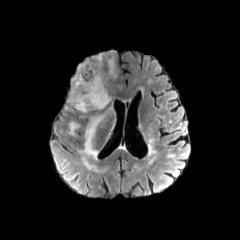
FLAIR MR.
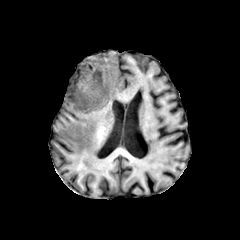
T1-weighted MR.
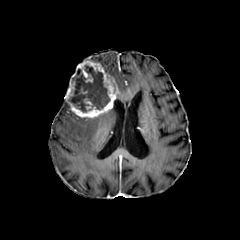
Post-contrast T1-weighted MR.
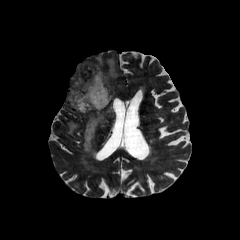
T2-weighted MR of the same slice.
Axial slice; Image size 240x240
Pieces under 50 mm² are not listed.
enhancing_tumor:
  - l=65, t=59, r=118, b=117
peritumoral_edema:
  - l=107, t=59, r=115, b=77
  - l=68, t=121, r=79, b=135
  - l=79, t=114, r=104, b=157
necrotic_tumor_core:
  - l=68, t=65, r=110, b=111